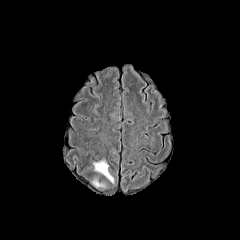
FLAIR MRI.
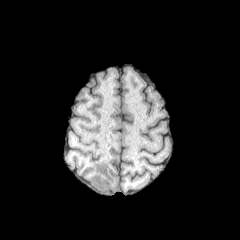
T1-weighted magnetic resonance.
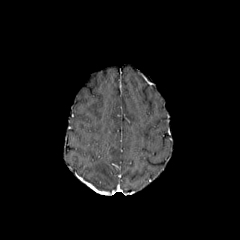
Same slice, post-contrast T1-weighted MR.
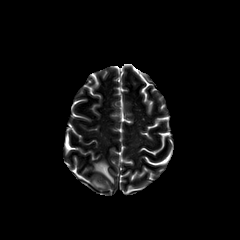
T2-weighted MRI.
Brain
peritumoral edema: bounding box {"x1": 93, "y1": 160, "x2": 114, "y2": 183}, {"x1": 92, "y1": 179, "x2": 105, "y2": 187}